FLAIR MR.
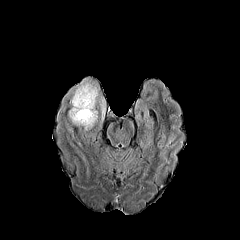
T1-weighted MR.
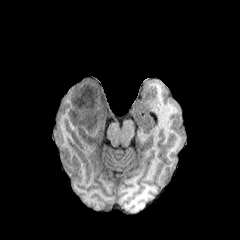
Post-contrast T1-weighted MR image.
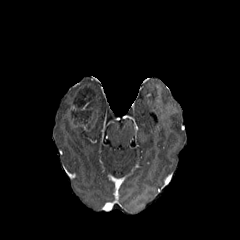
T2-weighted MR.
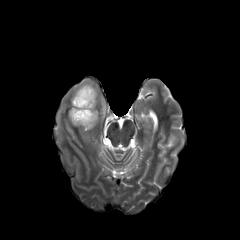
Axial slice
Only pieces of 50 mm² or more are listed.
Annotated regions:
- necrotic tumor core: rect(71, 86, 96, 129)
- peritumoral edema: rect(70, 78, 105, 123)
- enhancing tumor: rect(74, 123, 88, 130)